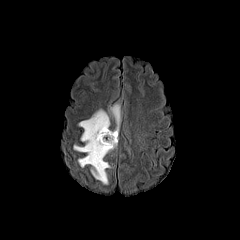
FLAIR magnetic resonance.
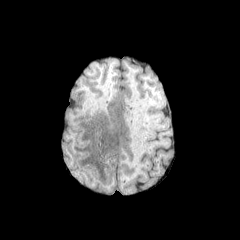
T1-weighted MRI of the same slice.
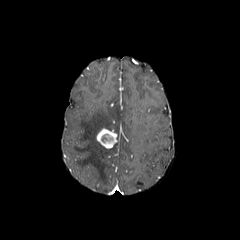
Post-contrast T1-weighted magnetic resonance.
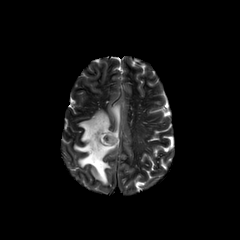
Same slice, T2-weighted magnetic resonance.
Head; Axial view
The enhancing tumor is located at <box>96,128,117,148</box>. The necrotic tumor core is at <box>100,133,113,144</box>. 2 peritumoral edema regions are bounded by <box>74,109,117,184</box>, <box>110,104,120,134</box>.